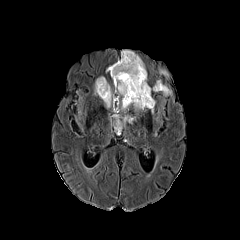
FLAIR magnetic resonance.
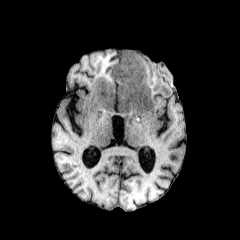
Same slice, T1-weighted MR.
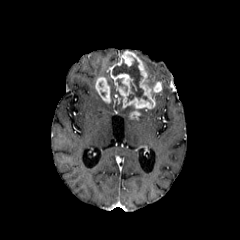
Post-contrast T1-weighted MRI of the same slice.
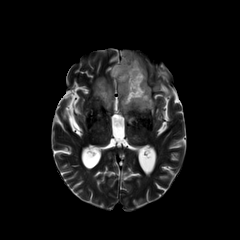
T2-weighted magnetic resonance.
Head; Axial view
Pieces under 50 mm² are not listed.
The 2 largest enhancing tumor regions are bounded by (left=95, top=77, right=111, bottom=103), (left=107, top=50, right=162, bottom=119). The largest necrotic tumor core region lies within (left=112, top=59, right=147, bottom=101). The 4 largest peritumoral edema regions are bounded by (left=161, top=84, right=171, bottom=96), (left=105, top=80, right=129, bottom=113), (left=159, top=69, right=168, bottom=77), (left=124, top=115, right=134, bottom=123).